FLAIR MR image.
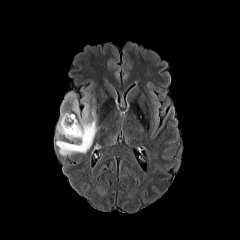
T1-weighted MR image.
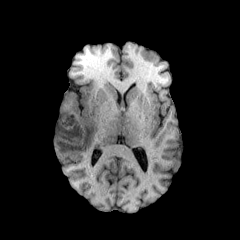
Post-contrast T1-weighted MR image.
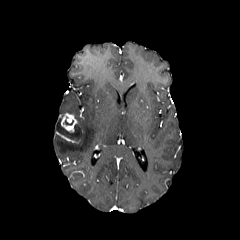
T2-weighted MR image.
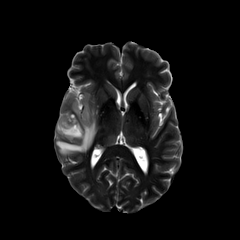
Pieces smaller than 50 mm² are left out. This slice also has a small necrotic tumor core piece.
The peritumoral edema is at box=[55, 92, 97, 155]. The enhancing tumor is located at box=[61, 113, 77, 132].